FLAIR MR.
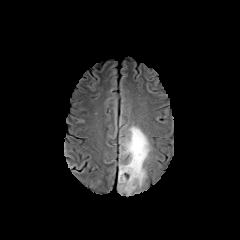
T1-weighted MR.
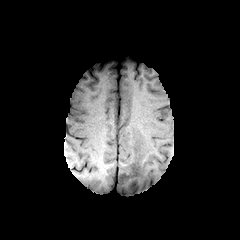
Post-contrast T1-weighted MR.
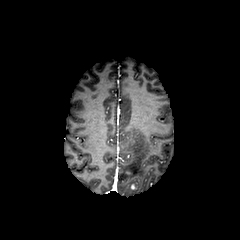
T2-weighted MRI.
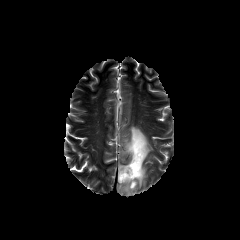
Axial plane; Brain; 240x240
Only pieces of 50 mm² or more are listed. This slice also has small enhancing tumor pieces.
peritumoral edema: [118, 126, 150, 195]